Slice index 44; Image width 240 mm
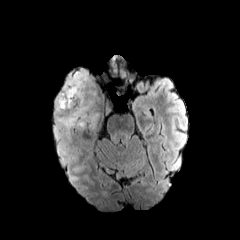
FLAIR MR.
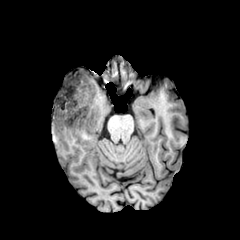
T1-weighted MR image.
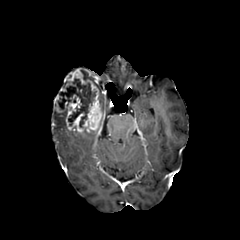
Same slice, post-contrast T1-weighted MRI.
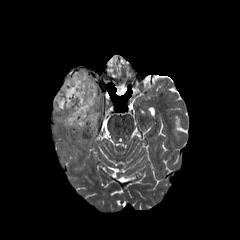
Same slice, T2-weighted MR.
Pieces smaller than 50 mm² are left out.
<segmentation>
  <necrotic_tumor_core>57:78:95:127</necrotic_tumor_core>
  <peritumoral_edema>54:109:67:139, 81:70:89:80</peritumoral_edema>
  <enhancing_tumor>54:69:102:133</enhancing_tumor>
</segmentation>